Image size 240x240; Slice 90 of 155
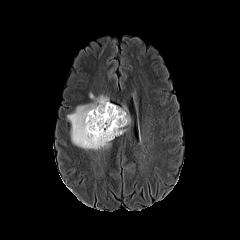
FLAIR MR.
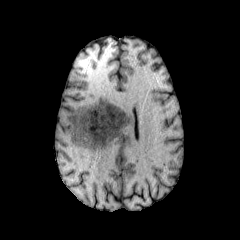
Same slice, T1-weighted magnetic resonance.
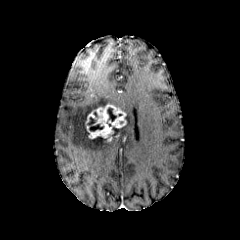
Post-contrast T1-weighted MR image.
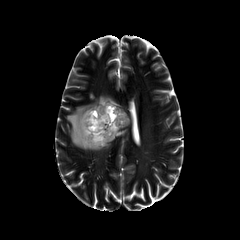
T2-weighted MR image of the same slice.
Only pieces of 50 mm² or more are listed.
The 2 largest necrotic tumor core regions are located at 87 117 103 131, 106 108 116 126. The enhancing tumor is at 85 104 126 141. The 2 largest peritumoral edema regions are located at 112 129 126 140, 67 95 111 150.